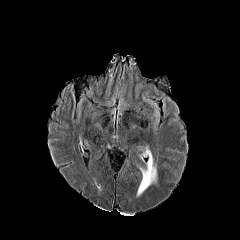
FLAIR MRI.
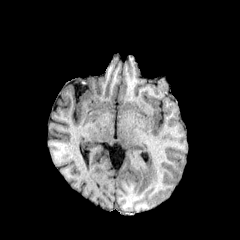
Same slice, T1-weighted MRI.
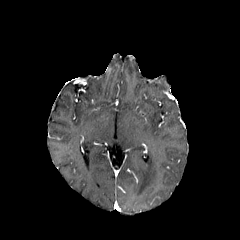
Same slice, post-contrast T1-weighted MR image.
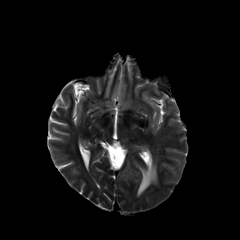
T2-weighted magnetic resonance.
240x240
The peritumoral edema is located at 137 150 156 195.